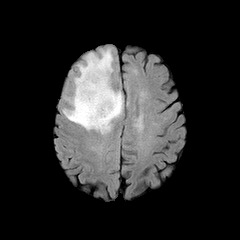
FLAIR MR.
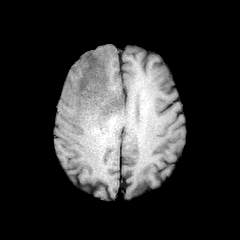
Same slice, T1-weighted MR image.
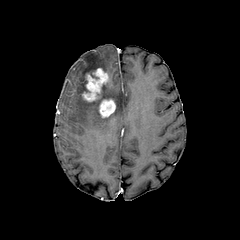
Post-contrast T1-weighted MR of the same slice.
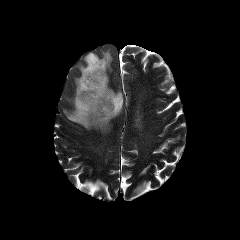
T2-weighted MR image of the same slice.
240x240 px. Head. Axial plane.
The peritumoral edema is at l=63, t=48, r=123, b=132. 2 enhancing tumor regions are bounded by l=99, t=98, r=115, b=117; l=81, t=68, r=110, b=102.